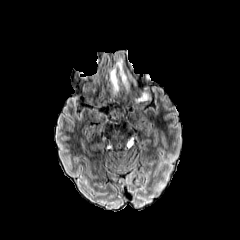
FLAIR MR.
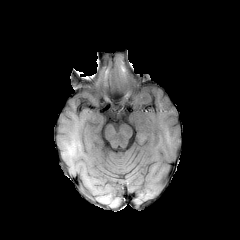
T1-weighted MRI.
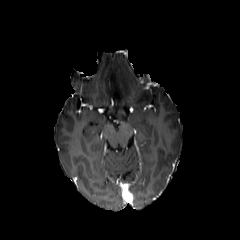
Post-contrast T1-weighted magnetic resonance of the same slice.
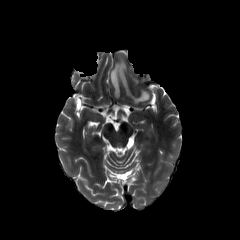
T2-weighted MR.
Head
{"peritumoral_edema": ["(110,67,119,93)", "(117,61,126,86)", "(135,91,149,102)"]}